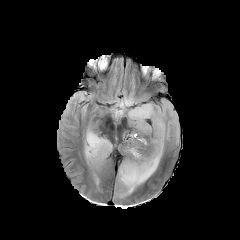
FLAIR magnetic resonance.
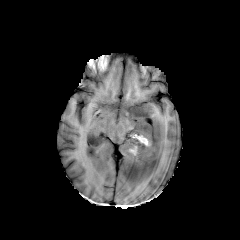
T1-weighted MR of the same slice.
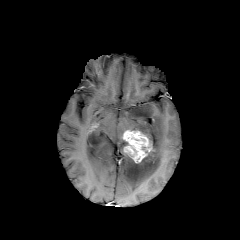
Post-contrast T1-weighted MR of the same slice.
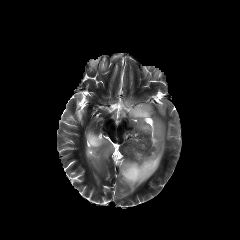
Same slice, T2-weighted MRI.
Brain. Axial plane.
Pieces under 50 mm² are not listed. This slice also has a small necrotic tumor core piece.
The enhancing tumor lies within [x1=123, y1=130, x2=152, y2=163]. 2 peritumoral edema regions are located at [x1=85, y1=127, x2=112, y2=167], [x1=112, y1=96, x2=168, y2=196].